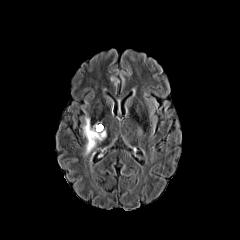
FLAIR MR image.
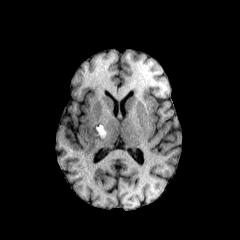
Same slice, T1-weighted MR.
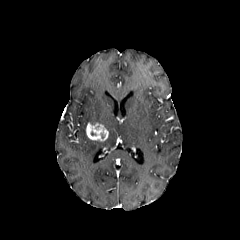
Post-contrast T1-weighted magnetic resonance.
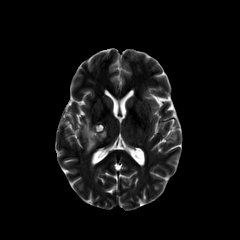
Same slice, T2-weighted MR.
Image size 240x240. Head.
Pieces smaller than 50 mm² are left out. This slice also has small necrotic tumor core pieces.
<segmentation>
  <peritumoral_edema>(left=83, top=117, right=99, bottom=155)</peritumoral_edema>
  <enhancing_tumor>(left=86, top=122, right=108, bottom=141)</enhancing_tumor>
</segmentation>